Axial slice. Image size 240x240. Image covers 240 mm x 240 mm.
FLAIR magnetic resonance.
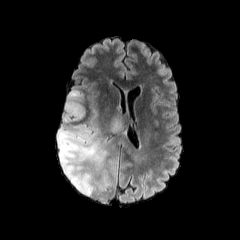
T1-weighted magnetic resonance.
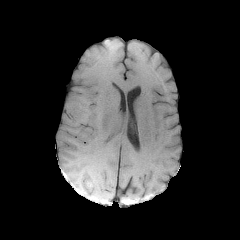
Post-contrast T1-weighted magnetic resonance.
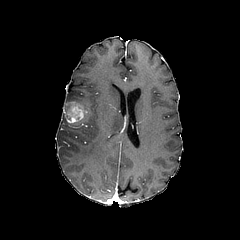
T2-weighted MR.
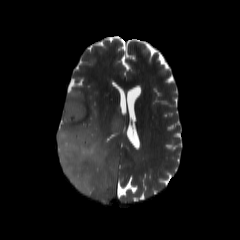
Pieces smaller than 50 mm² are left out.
The enhancing tumor lies within <bbox>65, 102, 86, 123</bbox>. The 2 largest peritumoral edema regions are bounded by <bbox>57, 90, 116, 196</bbox>, <bbox>110, 115, 123, 133</bbox>.